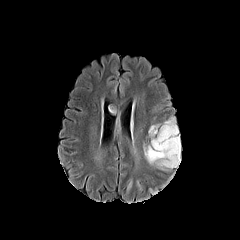
FLAIR MR.
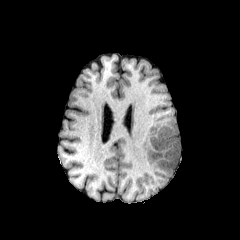
T1-weighted magnetic resonance of the same slice.
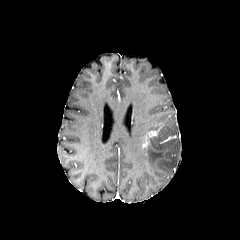
Post-contrast T1-weighted magnetic resonance of the same slice.
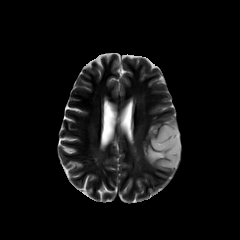
T2-weighted MR image.
Head
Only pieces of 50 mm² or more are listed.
The largest peritumoral edema region is located at rect(143, 116, 180, 170). The enhancing tumor is located at rect(142, 128, 159, 147).